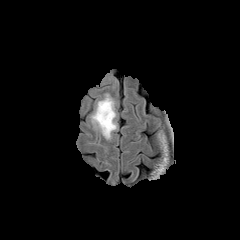
FLAIR magnetic resonance.
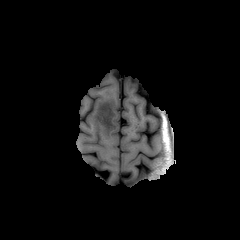
Same slice, T1-weighted MR.
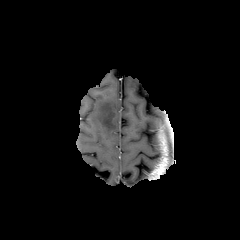
Post-contrast T1-weighted MR of the same slice.
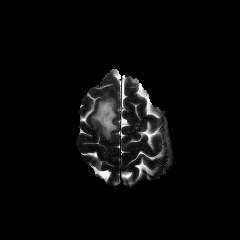
T2-weighted MR image.
Image size 240x240, Head
peritumoral edema: (left=91, top=93, right=117, bottom=139)